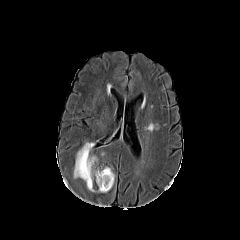
FLAIR MR.
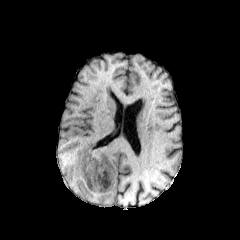
T1-weighted MRI of the same slice.
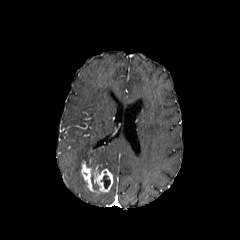
Same slice, post-contrast T1-weighted MRI.
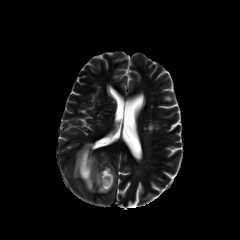
T2-weighted MRI.
240x240. Head. Axial slice.
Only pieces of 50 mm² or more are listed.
The enhancing tumor is at (81,158,113,192). The largest necrotic tumor core region lies within (101,175,110,188). The 2 largest peritumoral edema regions appear at (91,165,99,178), (73,142,97,178).